Axial plane. Slice 64/155.
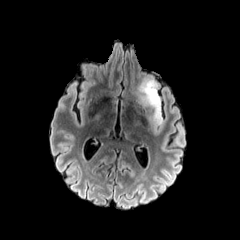
FLAIR magnetic resonance.
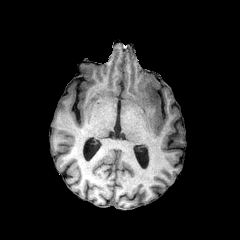
Same slice, T1-weighted MR.
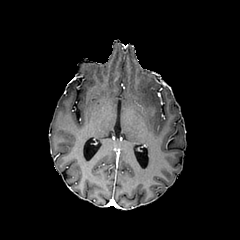
Post-contrast T1-weighted MR.
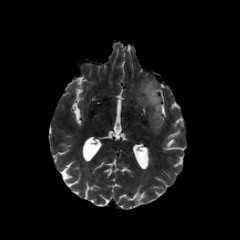
Same slice, T2-weighted MRI.
The peritumoral edema is at bbox(137, 77, 163, 130).